FLAIR MR image.
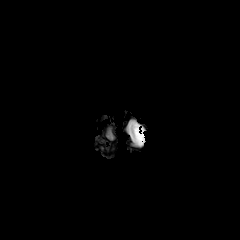
T1-weighted MR image.
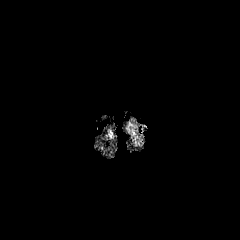
Post-contrast T1-weighted MR.
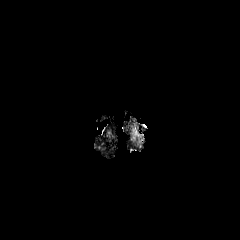
T2-weighted MR image.
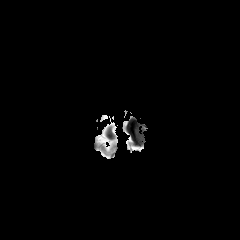
peritumoral edema: bounding box l=129, t=121, r=144, b=145